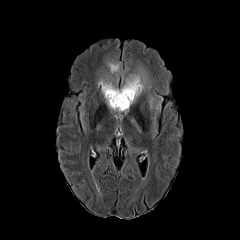
FLAIR MRI.
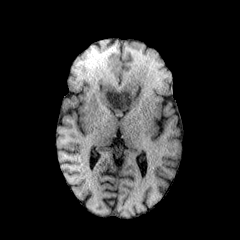
T1-weighted MR image.
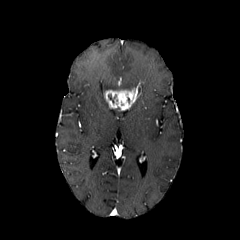
Post-contrast T1-weighted MR.
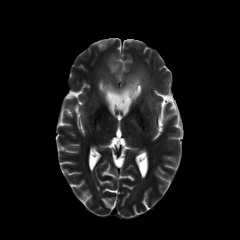
Same slice, T2-weighted MRI.
Brain
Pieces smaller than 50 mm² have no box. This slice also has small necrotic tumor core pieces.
enhancing_tumor:
  - 104,85,139,110
peritumoral_edema:
  - 121,72,147,94
  - 98,79,118,94
  - 107,60,119,73